Slice index 79, Head, 240x240
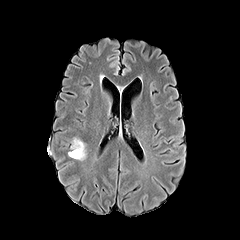
FLAIR MR image.
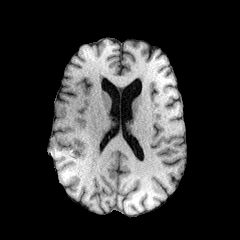
T1-weighted MR of the same slice.
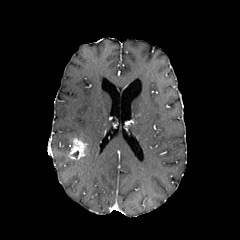
Post-contrast T1-weighted magnetic resonance.
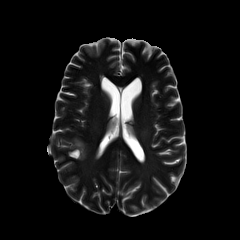
T2-weighted MR image.
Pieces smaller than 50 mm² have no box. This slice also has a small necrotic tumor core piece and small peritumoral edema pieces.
enhancing_tumor:
  - [x1=69, y1=138, x2=86, y2=159]